Head | 240x240
FLAIR magnetic resonance.
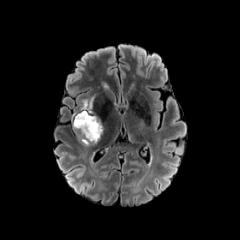
T1-weighted MR.
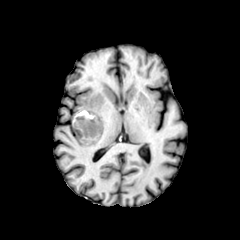
Post-contrast T1-weighted magnetic resonance.
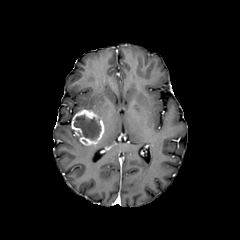
T2-weighted magnetic resonance.
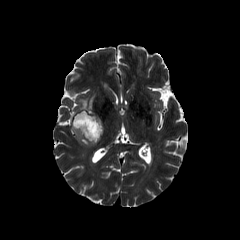
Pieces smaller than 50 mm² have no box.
Annotated regions:
* peritumoral edema: (left=80, top=96, right=94, bottom=110)
* enhancing tumor: (left=72, top=110, right=104, bottom=146)
* necrotic tumor core: (left=74, top=114, right=100, bottom=140)